FLAIR magnetic resonance.
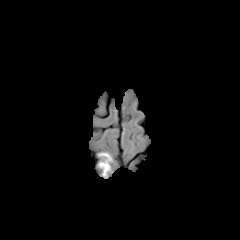
T1-weighted magnetic resonance.
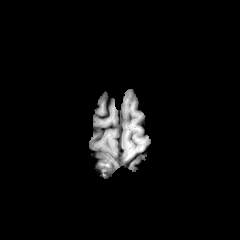
Post-contrast T1-weighted MR image.
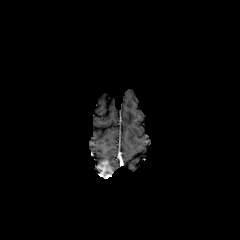
T2-weighted MR image.
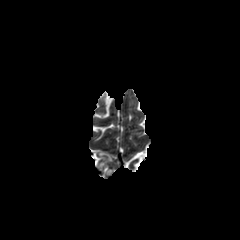
Head, Axial view
Segmented structures:
* peritumoral edema: l=99, t=152, r=111, b=161
* enhancing tumor: l=97, t=160, r=112, b=176